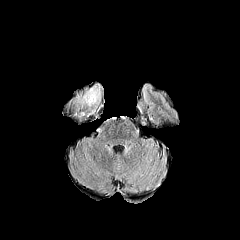
FLAIR MRI.
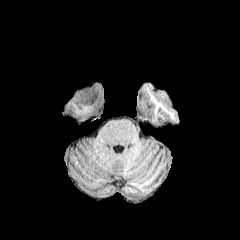
Same slice, T1-weighted MR image.
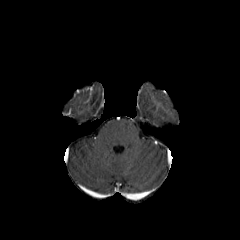
Post-contrast T1-weighted MRI.
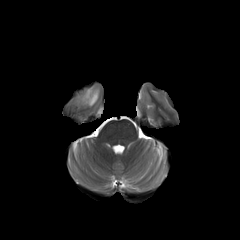
T2-weighted magnetic resonance of the same slice.
Axial plane; 240x240
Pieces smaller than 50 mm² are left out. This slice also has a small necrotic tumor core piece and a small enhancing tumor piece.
peritumoral_edema:
  - l=77, t=84, r=101, b=107